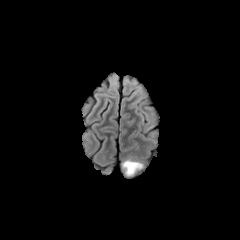
FLAIR MR.
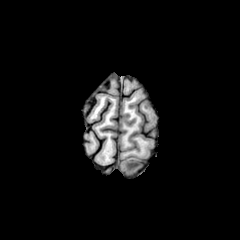
T1-weighted MRI.
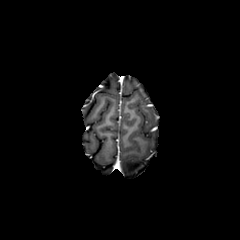
Post-contrast T1-weighted MR.
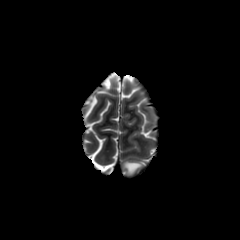
T2-weighted MRI.
Brain
The peritumoral edema is located at [x1=123, y1=161, x2=143, y2=176].